FLAIR MR.
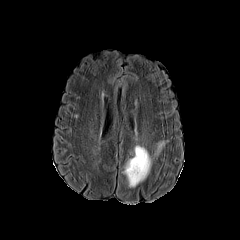
T1-weighted MR image.
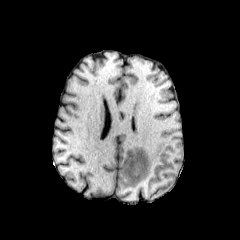
Post-contrast T1-weighted MR image.
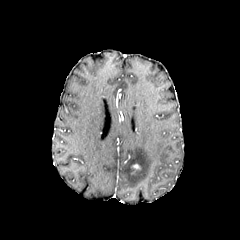
T2-weighted MR.
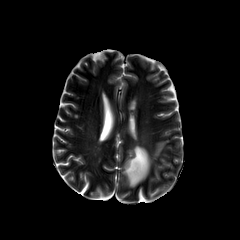
Brain, 240x240, Axial slice
enhancing tumor = (left=131, top=163, right=140, bottom=174)
peritumoral edema = (left=122, top=140, right=167, bottom=187)